Slice 110/155, 240x240 px
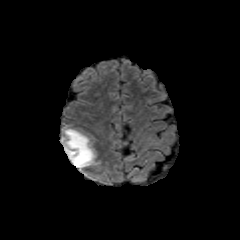
FLAIR MR image.
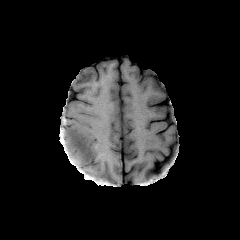
T1-weighted MR image.
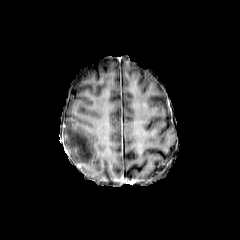
Post-contrast T1-weighted MRI of the same slice.
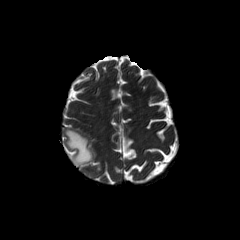
Same slice, T2-weighted MRI.
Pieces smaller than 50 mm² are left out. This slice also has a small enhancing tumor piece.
peritumoral edema: (x1=63, y1=127, x2=96, y2=170)